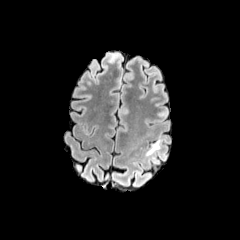
FLAIR MR image.
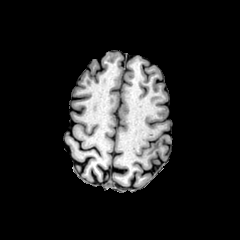
T1-weighted MR.
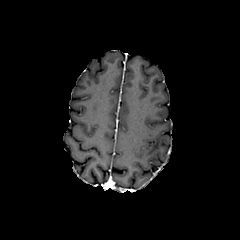
Same slice, post-contrast T1-weighted MR image.
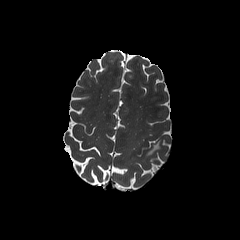
T2-weighted MRI of the same slice.
240x240 px | Axial plane
Segmented structures:
* peritumoral edema: (146, 141, 159, 155)